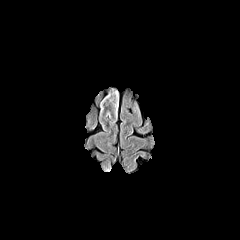
FLAIR MRI.
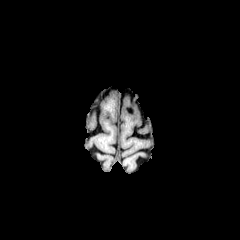
T1-weighted MR image.
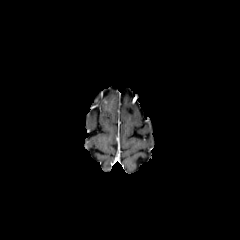
Same slice, post-contrast T1-weighted magnetic resonance.
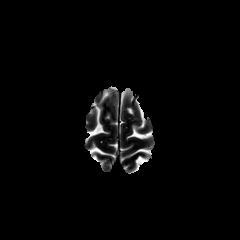
T2-weighted magnetic resonance.
Brain.
<segmentation>
  <peritumoral_edema>bbox=[100, 89, 118, 118]</peritumoral_edema>
</segmentation>